240x240 px
FLAIR magnetic resonance.
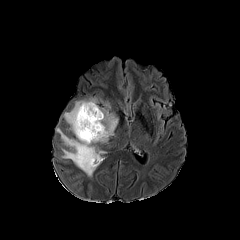
T1-weighted MR.
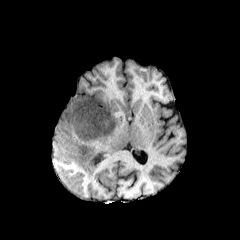
Post-contrast T1-weighted magnetic resonance.
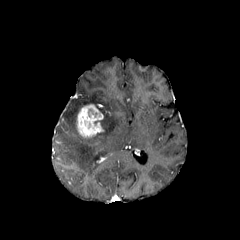
T2-weighted MR.
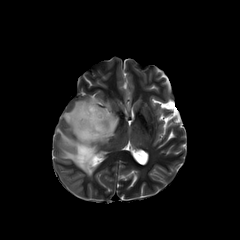
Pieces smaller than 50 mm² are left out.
The peritumoral edema is bounded by region(56, 97, 118, 176). The largest enhancing tumor region is bounded by region(76, 104, 104, 138).